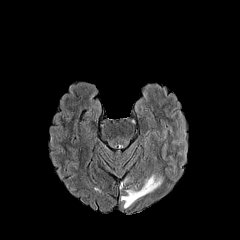
FLAIR magnetic resonance.
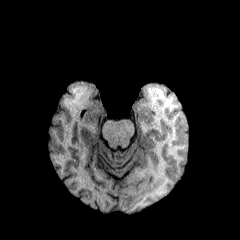
T1-weighted magnetic resonance.
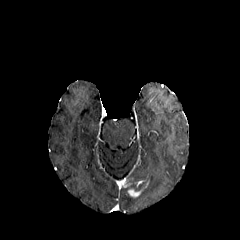
Post-contrast T1-weighted MRI.
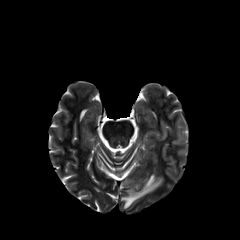
T2-weighted MR image.
240x240; Head
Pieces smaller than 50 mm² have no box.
<segmentation>
  <enhancing_tumor><box>127,181,148,197</box>, <box>120,178,131,187</box></enhancing_tumor>
  <peritumoral_edema><box>121,174,162,208</box></peritumoral_edema>
</segmentation>